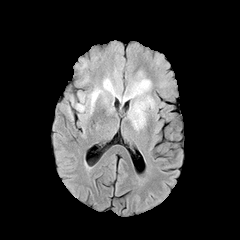
FLAIR MR image.
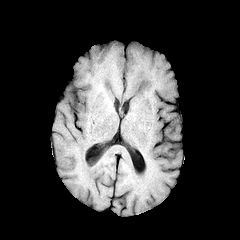
Same slice, T1-weighted MRI.
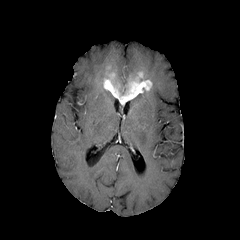
Same slice, post-contrast T1-weighted MRI.
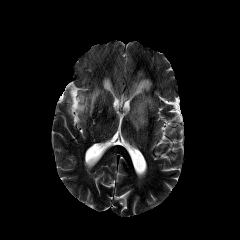
T2-weighted MR of the same slice.
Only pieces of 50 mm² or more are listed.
<segmentation>
  <enhancing_tumor>rect(103, 72, 152, 104)</enhancing_tumor>
  <peritumoral_edema>rect(88, 87, 110, 113); rect(129, 91, 155, 130); rect(75, 103, 84, 111)</peritumoral_edema>
</segmentation>